FLAIR MR image.
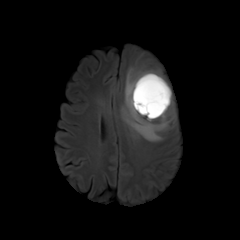
T1-weighted MR image.
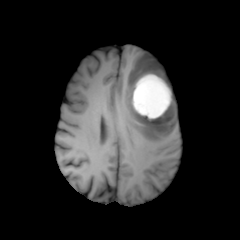
Post-contrast T1-weighted MRI.
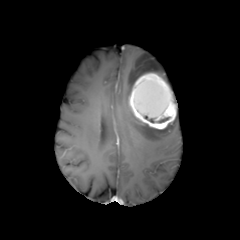
T2-weighted MRI.
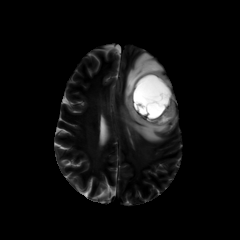
Head
The enhancing tumor appears at bbox=[129, 73, 176, 129]. The peritumoral edema appears at bbox=[121, 53, 176, 142]. The necrotic tumor core is bounded by bbox=[144, 115, 170, 123].